Slice 88 of 155; Head; Image size 240x240
FLAIR MRI.
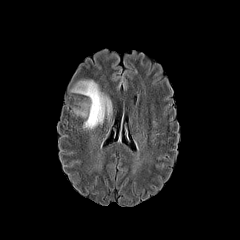
T1-weighted MRI.
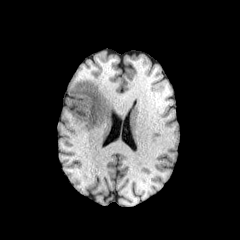
Post-contrast T1-weighted MR image.
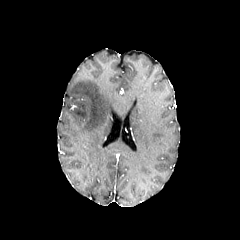
T2-weighted MR.
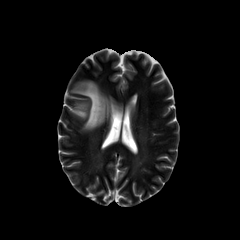
{"peritumoral_edema": ["<bbox>71, 80, 111, 129</bbox>"]}